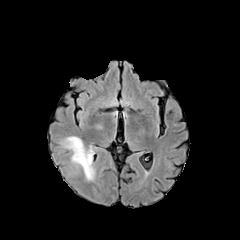
FLAIR MR image.
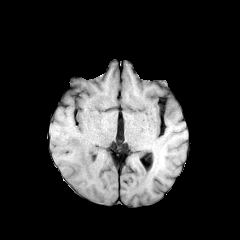
T1-weighted MR image.
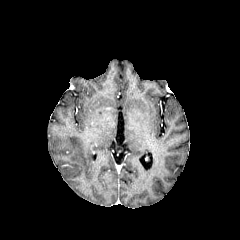
Post-contrast T1-weighted MR.
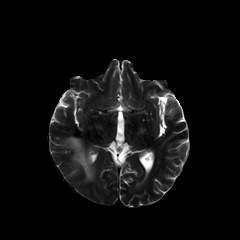
T2-weighted MRI of the same slice.
{"peritumoral_edema": ["63,137,94,180"]}